Head. Slice index 95.
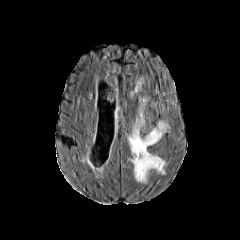
FLAIR MR image.
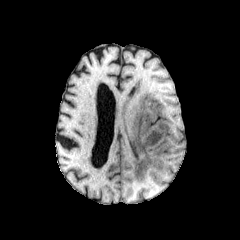
T1-weighted MRI.
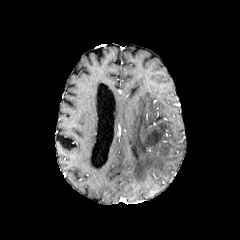
Post-contrast T1-weighted MRI of the same slice.
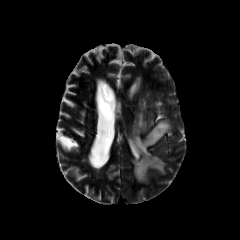
T2-weighted magnetic resonance of the same slice.
The peritumoral edema is at x1=128, y1=99, x2=169, y2=182.